Brain, Slice 87/155
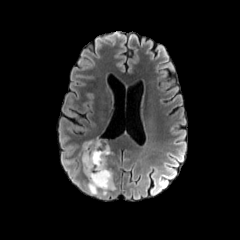
FLAIR MR image.
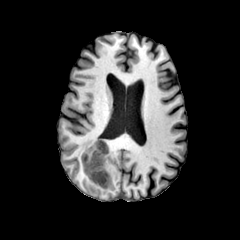
T1-weighted MR image.
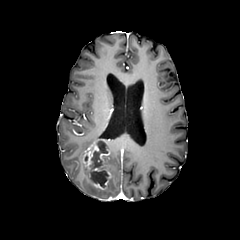
Post-contrast T1-weighted magnetic resonance of the same slice.
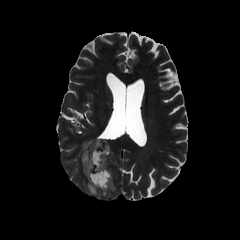
T2-weighted magnetic resonance.
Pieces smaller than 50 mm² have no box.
necrotic tumor core: (90, 141, 108, 186)
enhancing tumor: (81, 139, 111, 189)
peritumoral edema: (87, 182, 98, 195), (82, 140, 94, 154), (102, 177, 114, 195)